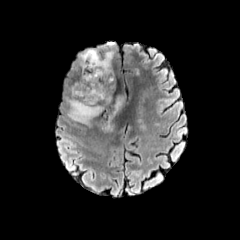
FLAIR MR.
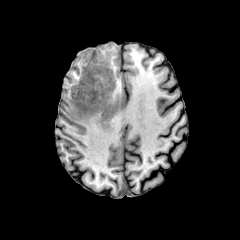
T1-weighted MR image.
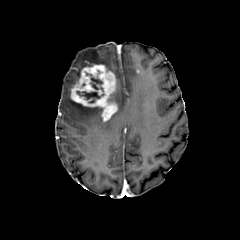
Same slice, post-contrast T1-weighted MR.
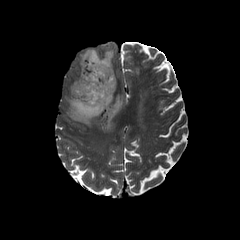
Same slice, T2-weighted magnetic resonance.
Axial plane; Head
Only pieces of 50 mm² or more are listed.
Annotated regions:
• peritumoral edema: bbox=[79, 49, 113, 70]; bbox=[115, 95, 123, 110]; bbox=[105, 114, 114, 129]; bbox=[67, 99, 102, 125]
• necrotic tumor core: bbox=[86, 73, 102, 89]; bbox=[77, 91, 100, 102]
• enhancing tumor: bbox=[71, 64, 117, 121]